FLAIR MRI.
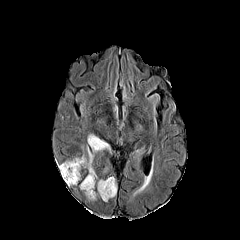
T1-weighted MR.
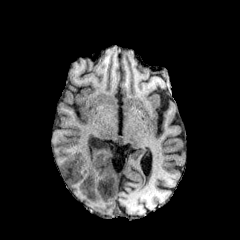
Post-contrast T1-weighted MRI.
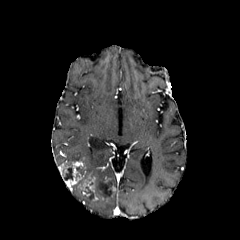
T2-weighted MR image.
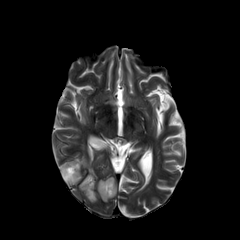
Head
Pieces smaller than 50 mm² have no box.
The 2 largest necrotic tumor core regions appear at 96:179:113:195, 64:168:72:180. The 2 largest enhancing tumor regions are bounded by 58:161:83:186, 79:174:98:200. The 3 largest peritumoral edema regions appear at 87:133:109:152, 68:147:97:178, 98:177:117:201.